Axial plane, Image covers 240 mm x 240 mm, 240x240 px, Head, Slice 53/155
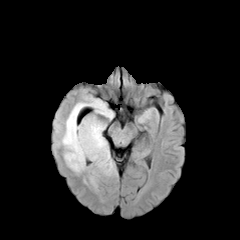
FLAIR magnetic resonance.
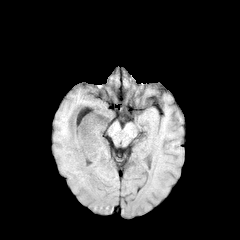
T1-weighted MRI.
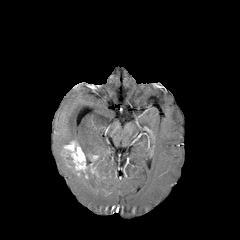
Post-contrast T1-weighted MRI.
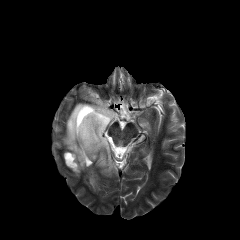
T2-weighted MRI.
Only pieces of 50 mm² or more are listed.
enhancing tumor = rect(64, 141, 88, 172)
necrotic tumor core = rect(65, 154, 74, 168)
peritumoral edema = rect(56, 96, 116, 190)